Slice index 59 | Axial plane
FLAIR MR.
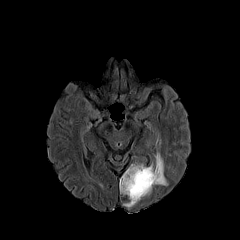
T1-weighted MR image.
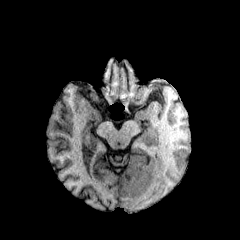
Post-contrast T1-weighted MR image.
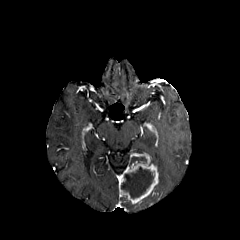
T2-weighted MR.
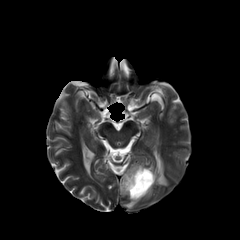
<segmentation>
  <enhancing_tumor><bbox>119, 161, 158, 204</bbox></enhancing_tumor>
  <peritumoral_edema><bbox>154, 152, 168, 185</bbox>, <bbox>123, 201, 134, 208</bbox></peritumoral_edema>
  <necrotic_tumor_core><bbox>121, 167, 153, 198</bbox></necrotic_tumor_core>
</segmentation>